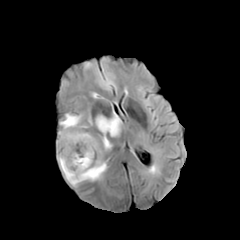
FLAIR MR image.
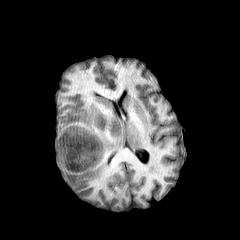
Same slice, T1-weighted MR.
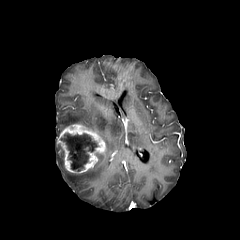
Post-contrast T1-weighted MR image.
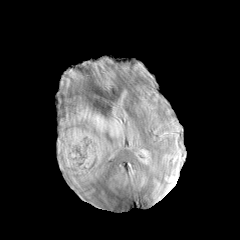
T2-weighted MR image.
Brain; Axial plane
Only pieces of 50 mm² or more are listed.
peritumoral edema at x1=57 y1=151 x2=107 y2=186, x1=59 y1=110 x2=122 y2=151
enhancing tumor at x1=56 y1=124 x2=105 y2=173
necrotic tumor core at x1=61 y1=134 x2=96 y2=170